FLAIR MRI.
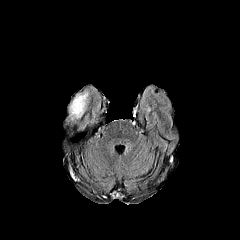
T1-weighted MR image.
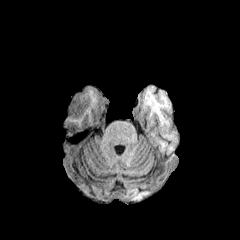
Post-contrast T1-weighted MR.
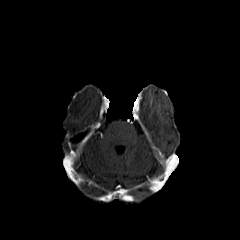
T2-weighted MR image.
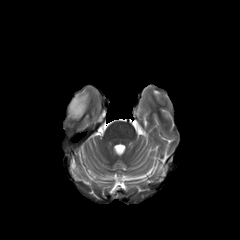
Axial plane, 240x240
peritumoral_edema:
  - box=[69, 92, 88, 118]